Image size 240x240
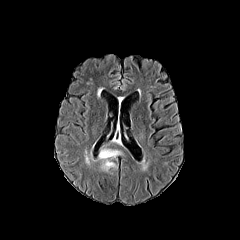
FLAIR MR.
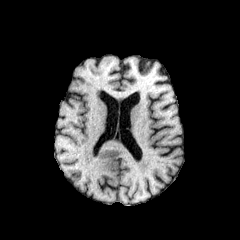
T1-weighted MR.
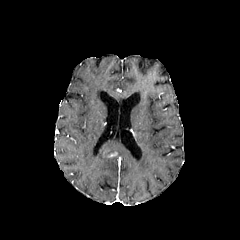
Post-contrast T1-weighted MR image.
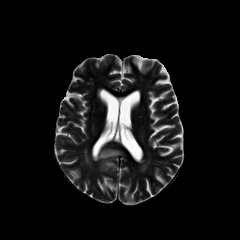
T2-weighted MR image.
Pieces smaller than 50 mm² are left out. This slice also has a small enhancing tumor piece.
<segmentation>
  <peritumoral_edema>(98, 148, 125, 171)</peritumoral_edema>
</segmentation>